FLAIR MR image.
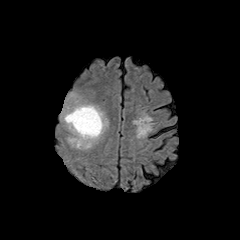
T1-weighted MRI.
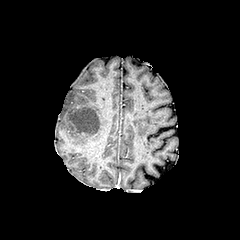
Post-contrast T1-weighted MR.
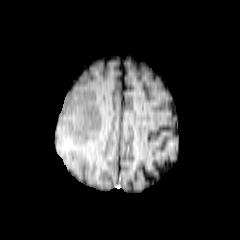
T2-weighted MR image.
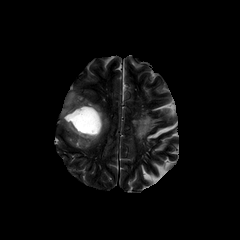
240x240 px
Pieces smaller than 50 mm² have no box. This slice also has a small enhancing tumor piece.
* necrotic tumor core: (73,107,100,135)
* peritumoral edema: (62,92,108,149)